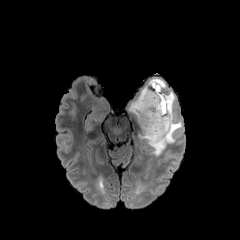
FLAIR MR image.
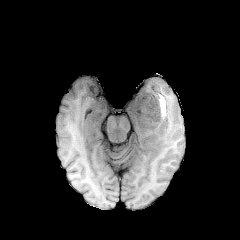
T1-weighted MR image.
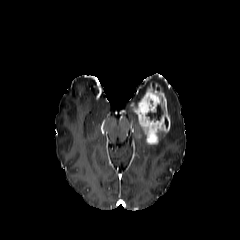
Post-contrast T1-weighted MR of the same slice.
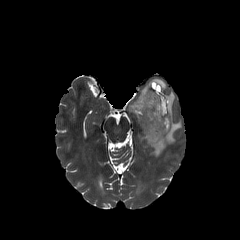
T2-weighted MR image of the same slice.
Axial plane | Head
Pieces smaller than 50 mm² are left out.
The largest necrotic tumor core region appears at [146, 98, 165, 120]. The 2 largest peritumoral edema regions appear at [139, 91, 182, 155], [134, 78, 166, 103]. The enhancing tumor lies within [130, 81, 170, 145].